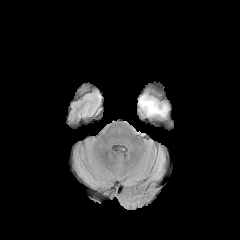
FLAIR MR.
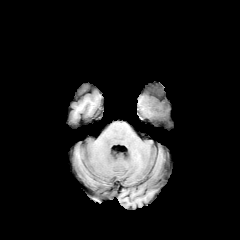
Same slice, T1-weighted MR.
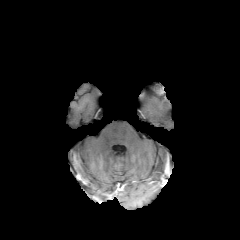
Same slice, post-contrast T1-weighted MR.
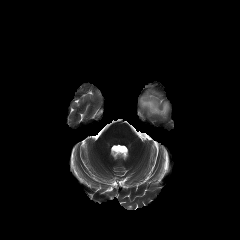
Same slice, T2-weighted MR.
Axial view. 240x240 px.
peritumoral edema: left=139, top=92, right=169, bottom=117